FLAIR MR image.
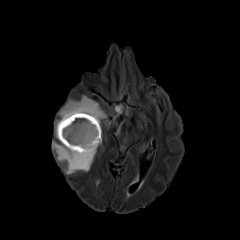
T1-weighted MR.
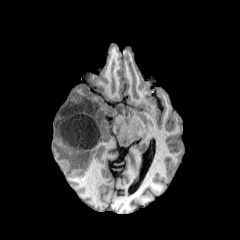
Post-contrast T1-weighted MR image.
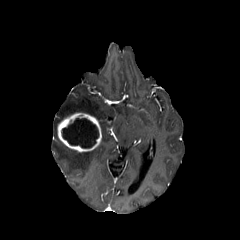
T2-weighted MR.
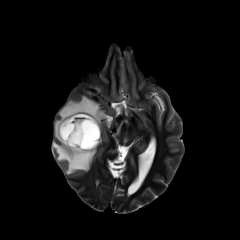
Head, 240x240 px, Axial view
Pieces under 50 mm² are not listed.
The necrotic tumor core is at region(61, 118, 98, 148). The enhancing tumor is located at region(57, 112, 101, 152). The 2 largest peritumoral edema regions appear at region(52, 141, 96, 174); region(55, 95, 106, 139).